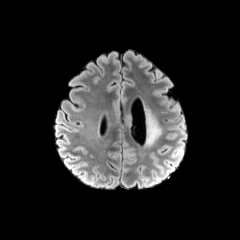
FLAIR MRI.
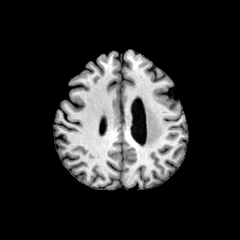
T1-weighted MR image.
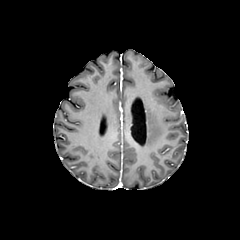
Same slice, post-contrast T1-weighted magnetic resonance.
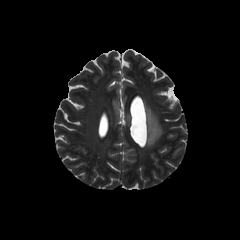
T2-weighted magnetic resonance.
<segmentation>
  <peritumoral_edema>l=126, t=115, r=131, b=126; l=145, t=109, r=162, b=146</peritumoral_edema>
</segmentation>